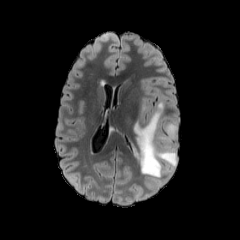
FLAIR magnetic resonance.
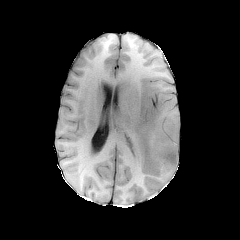
T1-weighted MR.
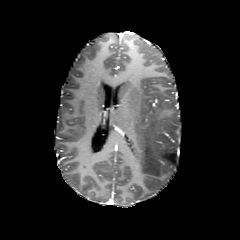
Same slice, post-contrast T1-weighted MRI.
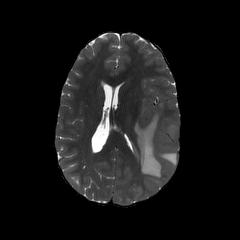
T2-weighted magnetic resonance.
Axial plane
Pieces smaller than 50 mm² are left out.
peritumoral edema = <box>134,111,177,178</box>